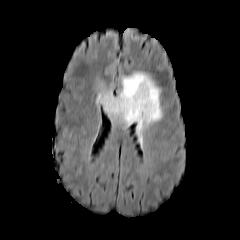
FLAIR MR image.
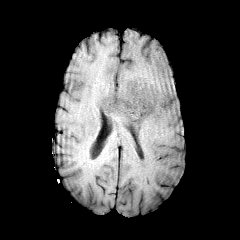
T1-weighted MRI.
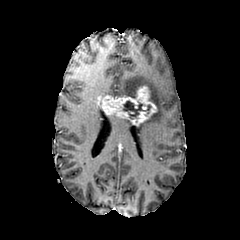
Post-contrast T1-weighted magnetic resonance.
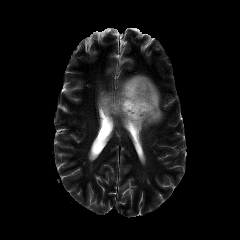
T2-weighted magnetic resonance of the same slice.
Brain.
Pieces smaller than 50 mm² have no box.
<segmentation>
  <peritumoral_edema>rect(118, 72, 162, 142); rect(98, 91, 112, 96); rect(110, 115, 131, 124)</peritumoral_edema>
  <enhancing_tumor>rect(97, 85, 156, 125)</enhancing_tumor>
  <necrotic_tumor_core>rect(123, 101, 151, 119)</necrotic_tumor_core>
</segmentation>